Image size 240x240 | Brain | Slice 101 of 155
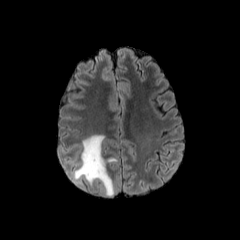
FLAIR MR.
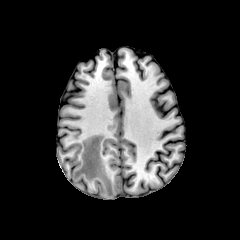
Same slice, T1-weighted MR.
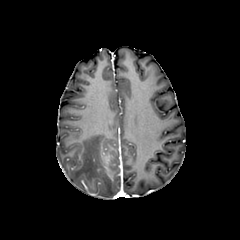
Post-contrast T1-weighted MR image of the same slice.
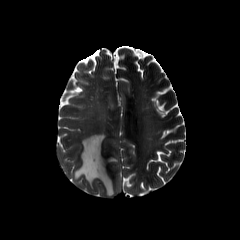
Same slice, T2-weighted MR.
Segmented structures:
* peritumoral edema: (left=73, top=135, right=117, bottom=196)